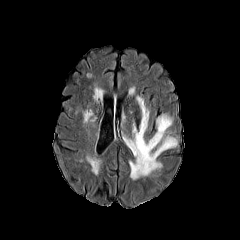
FLAIR MR.
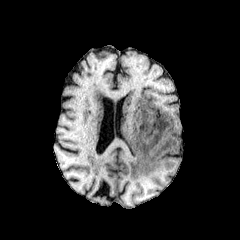
Same slice, T1-weighted MR image.
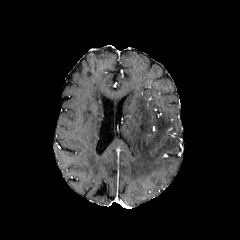
Post-contrast T1-weighted MR of the same slice.
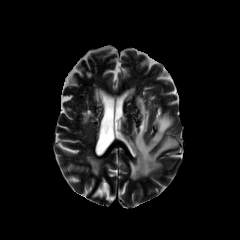
T2-weighted magnetic resonance of the same slice.
Brain.
peritumoral_edema:
  - 124 96 177 179